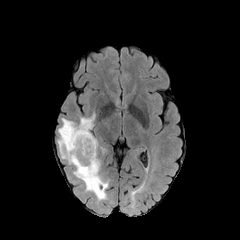
FLAIR MR image.
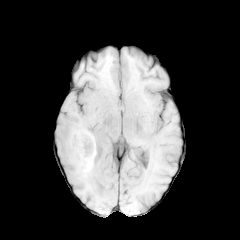
T1-weighted magnetic resonance of the same slice.
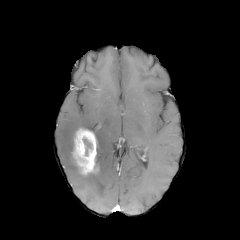
Same slice, post-contrast T1-weighted MRI.
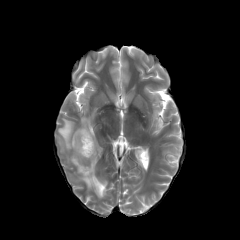
T2-weighted MR image.
Brain
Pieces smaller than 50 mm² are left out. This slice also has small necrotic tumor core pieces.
enhancing_tumor:
  - bbox(72, 128, 97, 174)
peritumoral_edema:
  - bbox(57, 112, 108, 201)